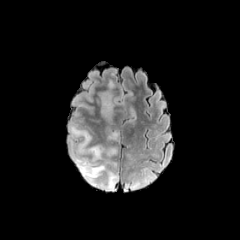
FLAIR MR image.
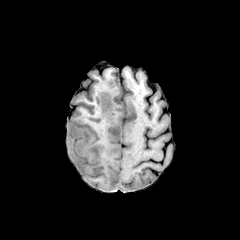
T1-weighted magnetic resonance.
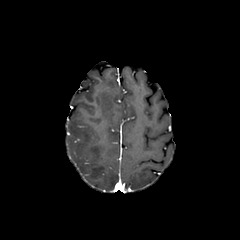
Same slice, post-contrast T1-weighted MR.
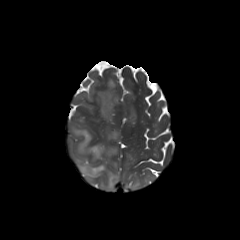
T2-weighted MR.
240x240 px
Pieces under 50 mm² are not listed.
peritumoral edema: x1=101, y1=93, x2=113, y2=118; x1=108, y1=132, x2=118, y2=139; x1=69, y1=123, x2=118, y2=190; x1=125, y1=178, x2=149, y2=190